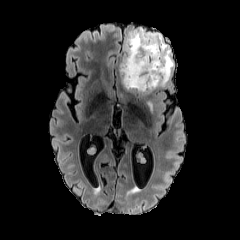
FLAIR MR.
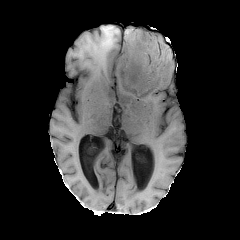
Same slice, T1-weighted MR image.
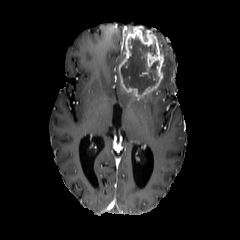
Post-contrast T1-weighted MR image.
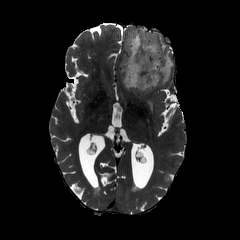
T2-weighted MR.
Image size 240x240; Axial view
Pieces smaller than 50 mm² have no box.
necrotic tumor core: region(120, 38, 158, 94) | peritumoral edema: region(146, 101, 152, 112); region(151, 32, 174, 86) | enhancing tumor: region(118, 27, 164, 97)